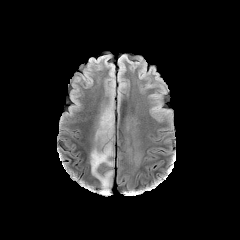
FLAIR magnetic resonance.
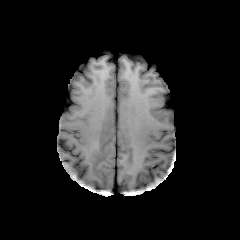
T1-weighted MRI.
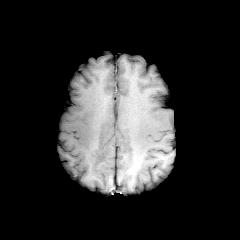
Same slice, post-contrast T1-weighted magnetic resonance.
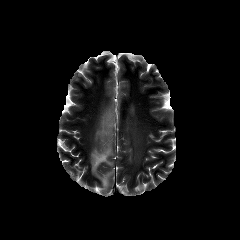
T2-weighted MRI.
240x240 px, Axial plane
The peritumoral edema lies within rect(90, 113, 113, 191).